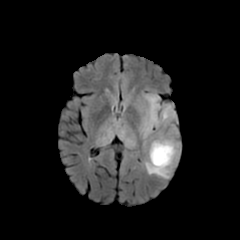
FLAIR MR.
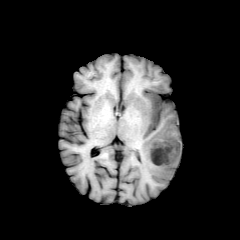
T1-weighted MR.
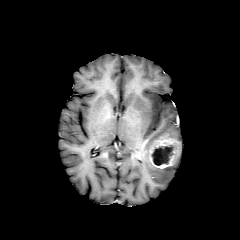
Post-contrast T1-weighted MR image.
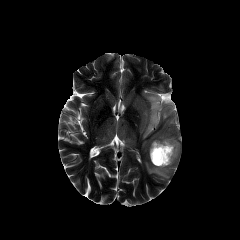
T2-weighted MRI.
Axial plane | Image size 240x240
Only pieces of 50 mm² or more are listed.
enhancing tumor: [149,135,180,168] | peritumoral edema: [140,91,179,179] | necrotic tumor core: [151,145,173,165]